FLAIR MRI.
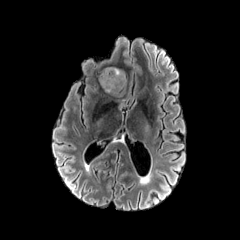
T1-weighted MR.
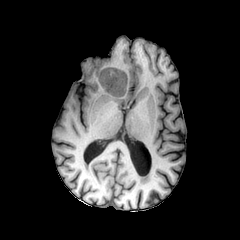
Post-contrast T1-weighted magnetic resonance.
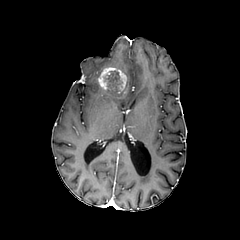
T2-weighted MR image.
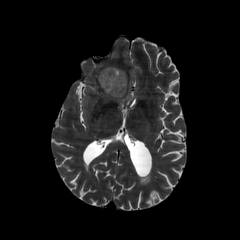
Brain; Axial view
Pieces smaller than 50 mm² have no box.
peritumoral edema at <bbox>105, 90, 123, 95</bbox>
enhancing tumor at <bbox>98, 67, 126, 93</bbox>
necrotic tumor core at <bbox>107, 71, 119, 89</bbox>